Axial view, Slice index 73, Brain
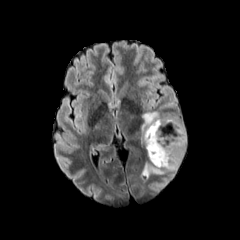
FLAIR magnetic resonance.
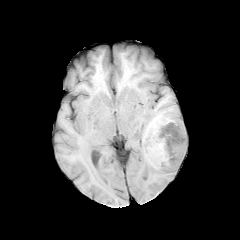
T1-weighted MRI of the same slice.
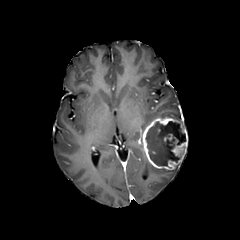
Post-contrast T1-weighted MR image.
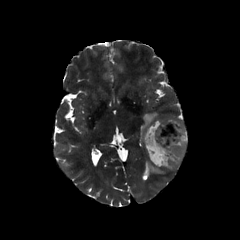
T2-weighted magnetic resonance.
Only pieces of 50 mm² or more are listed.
necrotic tumor core: x1=145, y1=121, x2=185, y2=166
enhancing tumor: x1=141, y1=117, x2=187, y2=169
peritumoral edema: x1=141, y1=111, x2=180, y2=132; x1=142, y1=161, x2=179, y2=177